FLAIR MRI.
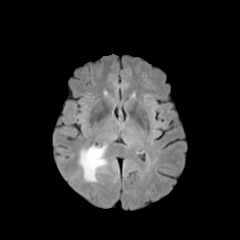
T1-weighted MR image.
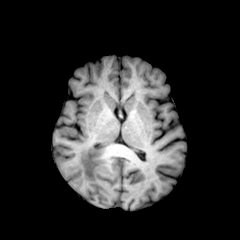
Post-contrast T1-weighted MR image.
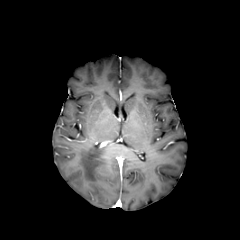
T2-weighted MR image.
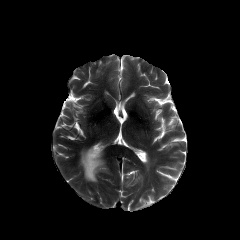
Findings:
- peritumoral edema: (x1=79, y1=146, x2=106, y2=181)